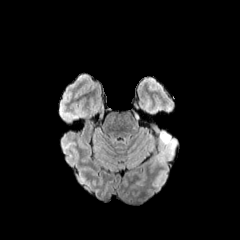
FLAIR MRI.
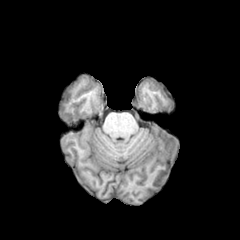
T1-weighted MRI.
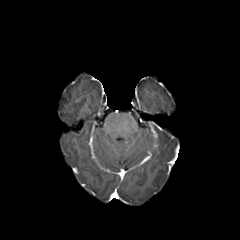
Post-contrast T1-weighted MRI of the same slice.
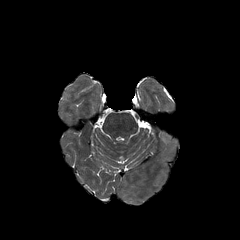
Same slice, T2-weighted magnetic resonance.
Brain.
peritumoral edema: [161,131,174,146]